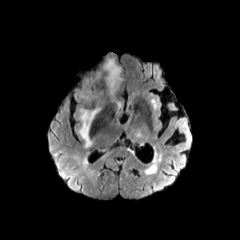
FLAIR MR.
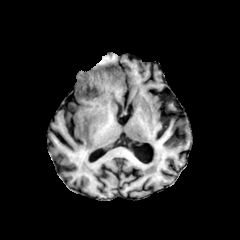
Same slice, T1-weighted MR.
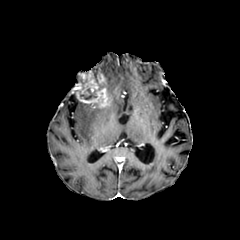
Post-contrast T1-weighted magnetic resonance.
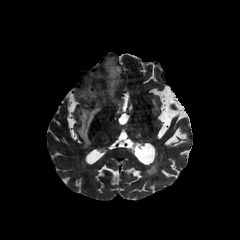
Same slice, T2-weighted magnetic resonance.
Axial view; Head
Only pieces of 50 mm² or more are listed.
necrotic tumor core: (left=80, top=89, right=96, bottom=99) | peritumoral edema: (left=104, top=59, right=121, bottom=95), (left=78, top=104, right=100, bottom=147) | enhancing tumor: (left=76, top=70, right=108, bottom=107)